FLAIR MRI.
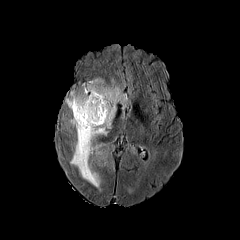
T1-weighted MR.
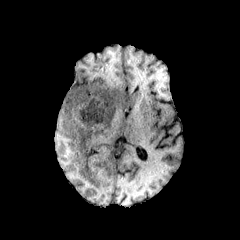
Post-contrast T1-weighted magnetic resonance.
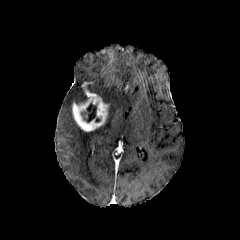
T2-weighted MRI.
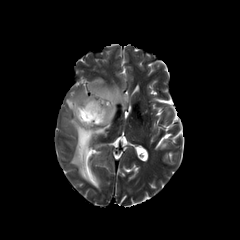
Axial slice; Brain
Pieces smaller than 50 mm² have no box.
<segmentation>
  <enhancing_tumor>rect(72, 93, 109, 131)</enhancing_tumor>
  <necrotic_tumor_core>rect(83, 103, 96, 122)</necrotic_tumor_core>
  <peritumoral_edema>rect(65, 87, 86, 112); rect(68, 78, 128, 190)</peritumoral_edema>
</segmentation>